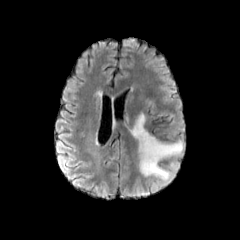
FLAIR MR image.
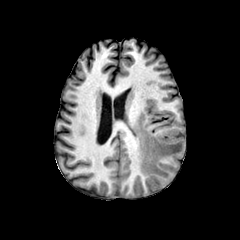
T1-weighted MR image.
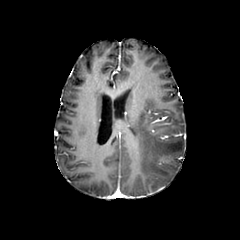
Post-contrast T1-weighted MRI.
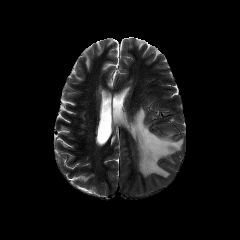
T2-weighted MR image.
240x240 px
{
  "peritumoral_edema": [
    "132, 113, 182, 178"
  ]
}